FLAIR MR image.
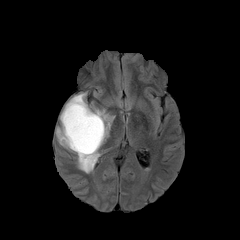
T1-weighted MR.
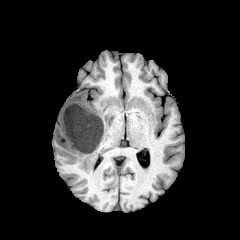
Post-contrast T1-weighted MR.
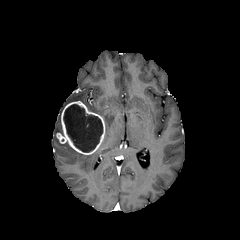
T2-weighted MR.
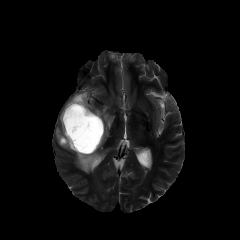
240x240 px. Head.
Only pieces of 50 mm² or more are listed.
enhancing tumor = region(56, 101, 105, 155)
necrotic tumor core = region(63, 104, 102, 152)
peritumoral edema = region(67, 92, 91, 110); region(61, 143, 99, 173); region(92, 108, 112, 145)